Head.
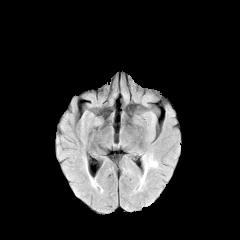
FLAIR MR.
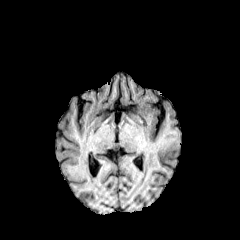
T1-weighted MR image of the same slice.
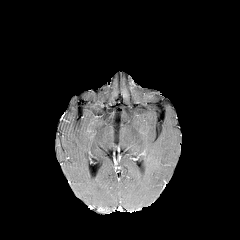
Post-contrast T1-weighted MRI of the same slice.
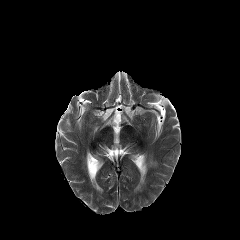
T2-weighted MRI.
{
  "peritumoral_edema": [
    "<box>138,156,157,189</box>"
  ]
}